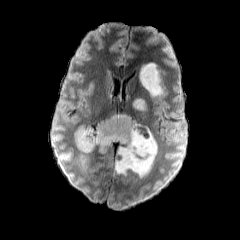
FLAIR MR.
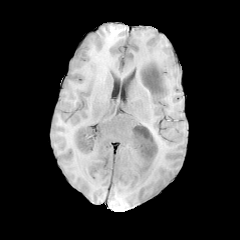
T1-weighted MRI.
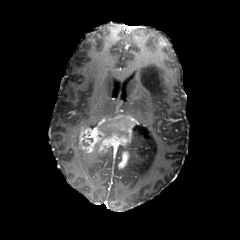
Post-contrast T1-weighted MR of the same slice.
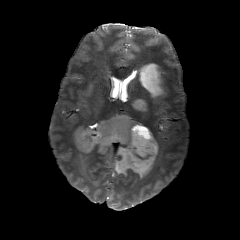
T2-weighted magnetic resonance.
Head
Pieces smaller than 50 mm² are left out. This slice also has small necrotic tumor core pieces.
enhancing_tumor:
  - left=75, top=114, right=136, bottom=169
peritumoral_edema:
  - left=140, top=63, right=164, bottom=97
  - left=115, top=123, right=157, bottom=178
  - left=132, top=98, right=146, bottom=110